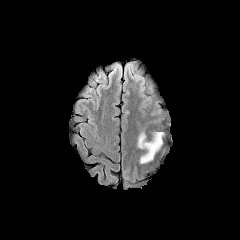
FLAIR MR.
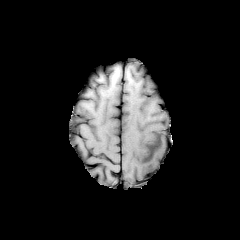
T1-weighted MR image of the same slice.
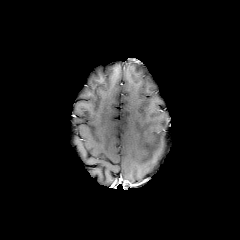
Post-contrast T1-weighted MR.
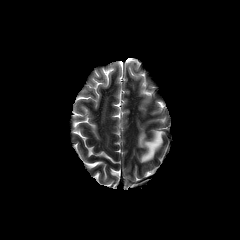
T2-weighted MR of the same slice.
peritumoral edema — [x1=138, y1=131, x2=164, y2=163]